Brain, Axial view
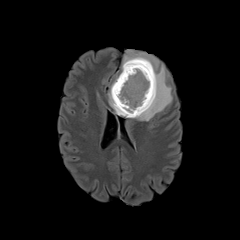
FLAIR MRI.
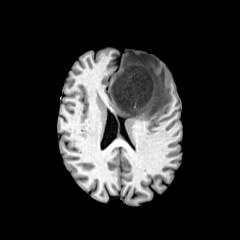
T1-weighted MRI of the same slice.
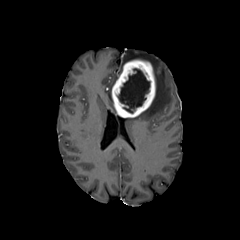
Post-contrast T1-weighted MR of the same slice.
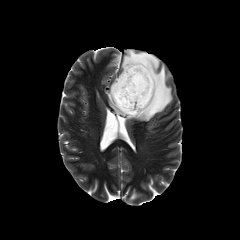
T2-weighted MR image.
Annotated regions:
- peritumoral edema: 122 49 172 121, 108 77 117 113
- enhancing tumor: 112 59 155 117
- necrotic tumor core: 117 68 150 113